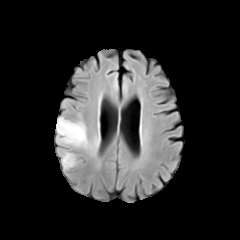
FLAIR magnetic resonance.
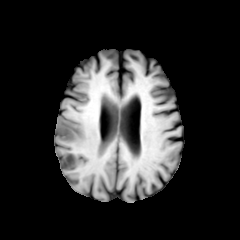
T1-weighted MR of the same slice.
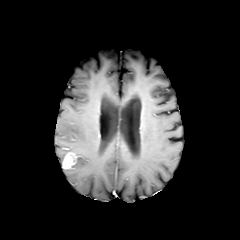
Same slice, post-contrast T1-weighted MR.
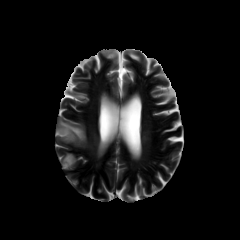
Same slice, T2-weighted MRI.
Image size 240x240
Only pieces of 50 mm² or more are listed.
peritumoral edema: (left=56, top=116, right=97, bottom=149) | enhancing tumor: (left=62, top=153, right=76, bottom=168)